Slice 109 of 155
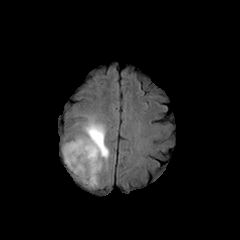
FLAIR magnetic resonance.
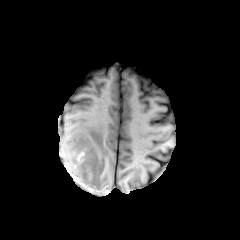
T1-weighted magnetic resonance.
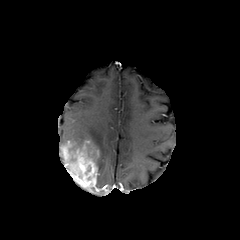
Post-contrast T1-weighted MRI of the same slice.
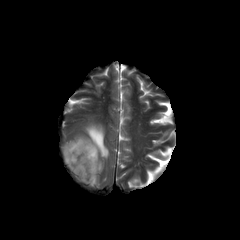
Same slice, T2-weighted MR.
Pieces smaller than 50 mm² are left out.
The enhancing tumor is at 61,139,99,188. The largest peritumoral edema region lies within 70,119,109,173.